FLAIR magnetic resonance.
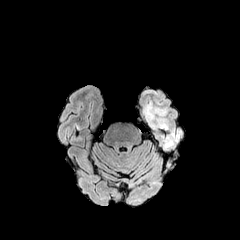
T1-weighted MRI.
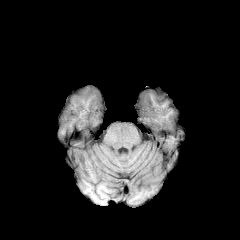
Post-contrast T1-weighted magnetic resonance.
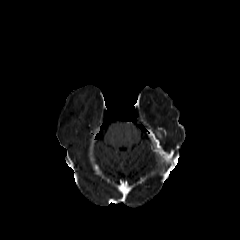
T2-weighted MR image.
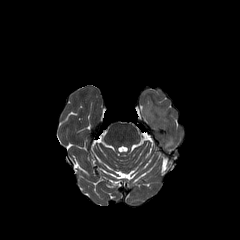
Head. 240x240.
• peritumoral edema: bbox(143, 101, 182, 150)
• enhancing tumor: bbox(154, 129, 162, 139)